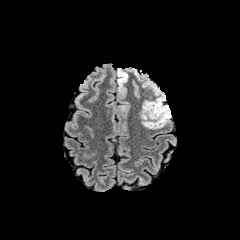
FLAIR MR image.
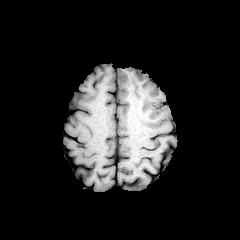
T1-weighted MR image of the same slice.
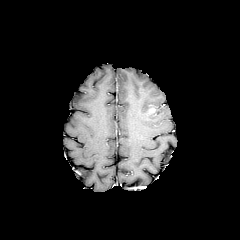
Same slice, post-contrast T1-weighted MR image.
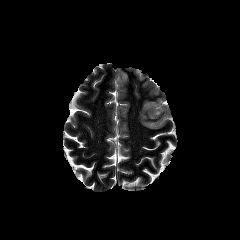
T2-weighted MR image.
Brain; Axial view
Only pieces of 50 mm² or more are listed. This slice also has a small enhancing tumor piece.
The 2 largest peritumoral edema regions are bounded by {"x1": 117, "y1": 68, "x2": 128, "y2": 89}, {"x1": 140, "y1": 80, "x2": 171, "y2": 129}.